FLAIR magnetic resonance.
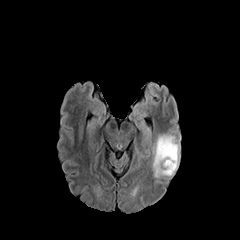
T1-weighted MRI.
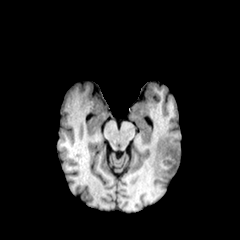
Post-contrast T1-weighted magnetic resonance.
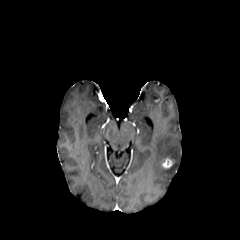
T2-weighted MR image.
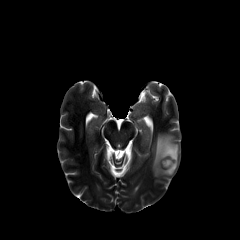
The peritumoral edema is located at 152:133:180:177. The enhancing tumor is at 162:157:174:168.